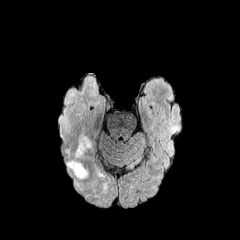
FLAIR MR image.
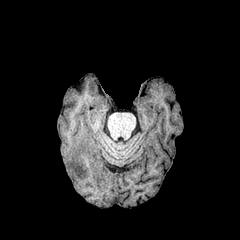
T1-weighted MR of the same slice.
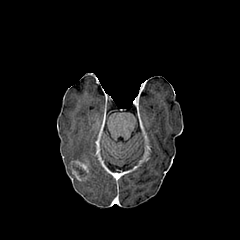
Same slice, post-contrast T1-weighted MR image.
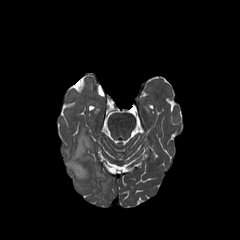
T2-weighted MRI.
Head | 240x240 px
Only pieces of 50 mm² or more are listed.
necrotic tumor core — 73,165,84,177
peritumoral edema — 66,136,92,188; 96,168,105,177
enhancing tumor — 70,160,88,180